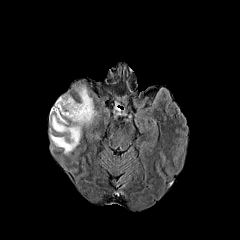
FLAIR magnetic resonance.
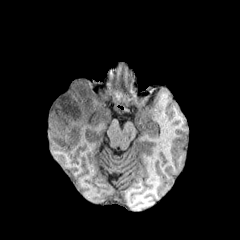
T1-weighted MR image of the same slice.
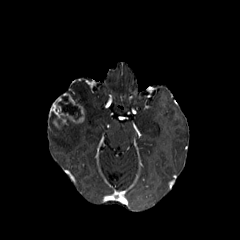
Same slice, post-contrast T1-weighted MR image.
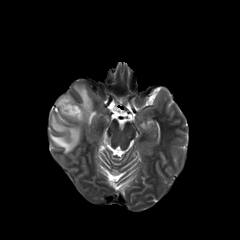
T2-weighted MRI.
Axial slice. Image size 240x240. Head.
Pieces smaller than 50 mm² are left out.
* necrotic tumor core: (left=58, top=96, right=81, bottom=119)
* enhancing tumor: (left=49, top=93, right=84, bottom=129)
* peritumoral edema: (left=49, top=85, right=96, bottom=154)